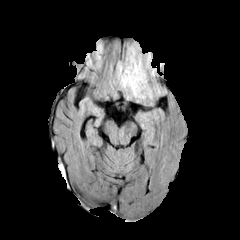
FLAIR magnetic resonance.
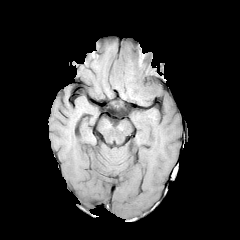
T1-weighted magnetic resonance of the same slice.
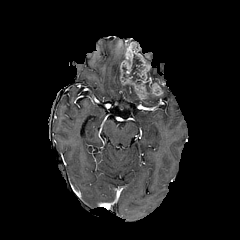
Post-contrast T1-weighted magnetic resonance of the same slice.
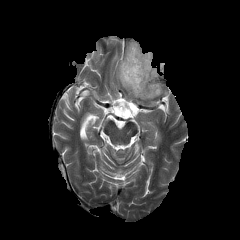
T2-weighted MRI.
Axial slice. Head.
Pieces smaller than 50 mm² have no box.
The largest enhancing tumor region lies within {"x1": 120, "y1": 41, "x2": 163, "y2": 99}. The largest necrotic tumor core region is located at {"x1": 129, "y1": 55, "x2": 142, "y2": 81}. The 2 largest peritumoral edema regions appear at {"x1": 147, "y1": 68, "x2": 155, "y2": 83}, {"x1": 116, "y1": 61, "x2": 138, "y2": 98}.